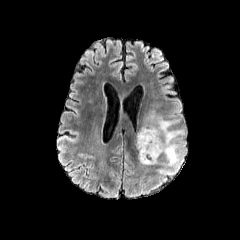
FLAIR MR image.
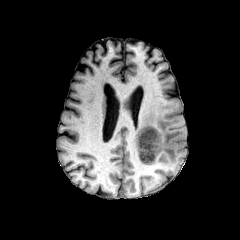
Same slice, T1-weighted MR image.
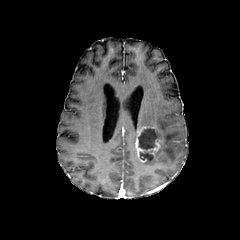
Post-contrast T1-weighted magnetic resonance.
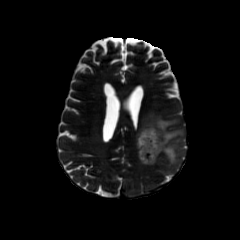
T2-weighted MR.
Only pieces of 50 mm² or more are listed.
The largest peritumoral edema region appears at (x1=140, y1=109, x2=185, y2=173). 2 necrotic tumor core regions are bounded by (x1=138, y1=128, x2=158, y2=149), (x1=140, y1=151, x2=153, y2=161). The enhancing tumor lies within (x1=135, y1=125, x2=163, y2=162).